Brain
FLAIR MRI.
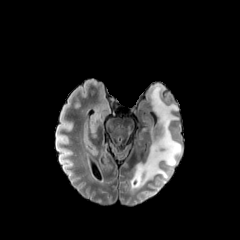
T1-weighted MRI.
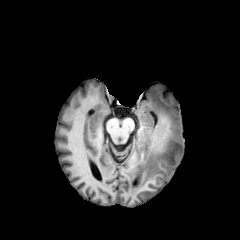
Post-contrast T1-weighted MRI.
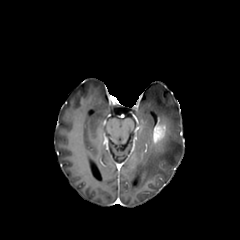
T2-weighted magnetic resonance.
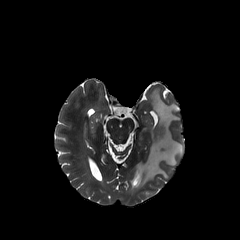
{"enhancing_tumor": ["[152,119,169,145]"], "peritumoral_edema": ["[131,85,182,188]", "[139,128,145,144]"]}